Axial view; Slice 126/155
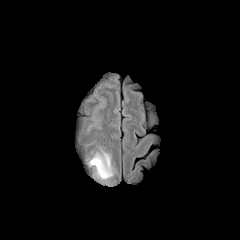
FLAIR MRI.
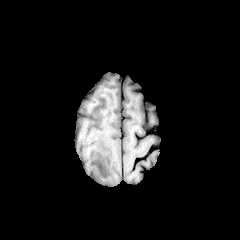
T1-weighted magnetic resonance.
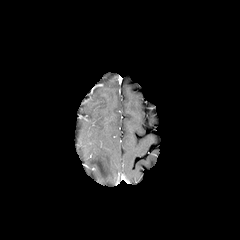
Same slice, post-contrast T1-weighted MR image.
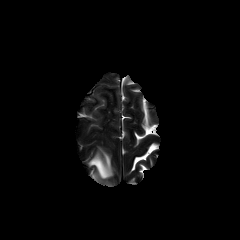
T2-weighted MR.
peritumoral edema: [x1=88, y1=148, x2=113, y2=180]